FLAIR MRI.
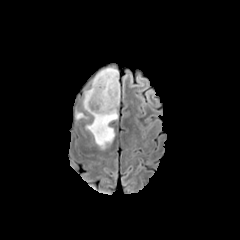
T1-weighted MR.
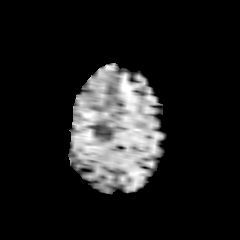
Post-contrast T1-weighted magnetic resonance.
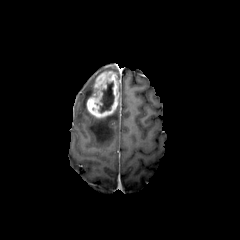
T2-weighted magnetic resonance.
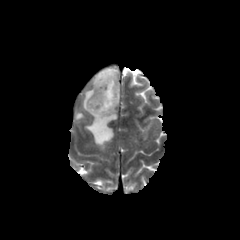
Axial slice. 240x240 px.
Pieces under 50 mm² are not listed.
Segmented structures:
- enhancing tumor: (87, 71, 119, 118)
- peritumoral edema: (86, 111, 117, 148), (83, 89, 93, 109), (96, 67, 118, 78)
- necrotic tumor core: (99, 82, 114, 112)